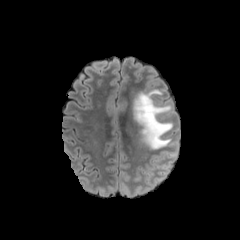
FLAIR MRI.
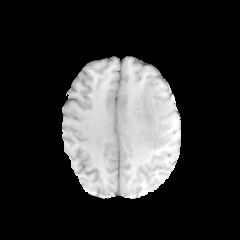
Same slice, T1-weighted MR image.
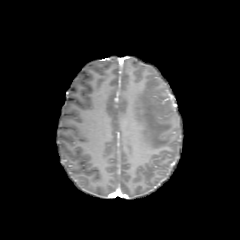
Post-contrast T1-weighted MR.
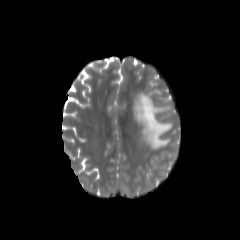
T2-weighted MRI.
240x240; Axial plane
The peritumoral edema is located at <box>133,90,172,149</box>.